Axial plane. Brain.
FLAIR magnetic resonance.
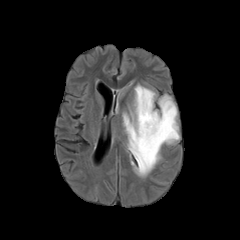
T1-weighted magnetic resonance.
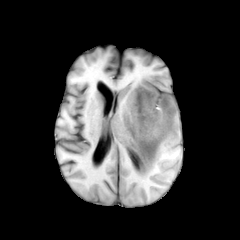
Post-contrast T1-weighted MRI.
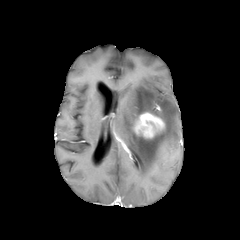
T2-weighted MR.
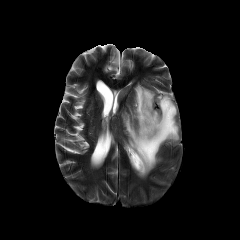
The enhancing tumor appears at bbox=[133, 112, 164, 138]. The peritumoral edema appears at bbox=[122, 84, 179, 177].